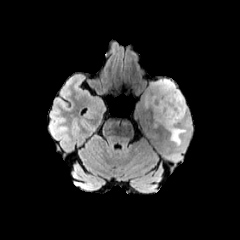
FLAIR magnetic resonance.
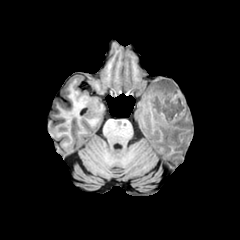
T1-weighted MRI.
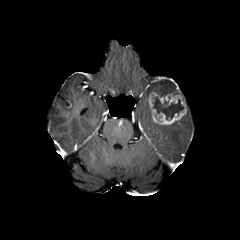
Post-contrast T1-weighted MRI of the same slice.
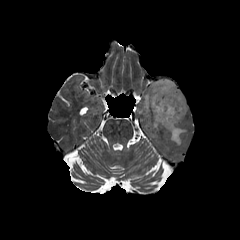
Same slice, T2-weighted magnetic resonance.
Head; Axial slice
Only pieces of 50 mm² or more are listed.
{
  "enhancing_tumor": [
    "148,91,186,124"
  ],
  "peritumoral_edema": [
    "151,79,181,95",
    "163,121,186,145",
    "145,95,149,109"
  ],
  "necrotic_tumor_core": [
    "153,97,183,119"
  ]
}